240x240 px | Head | Slice index 83 | Image covers 240 mm x 240 mm | Axial slice
FLAIR magnetic resonance.
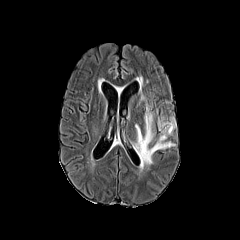
T1-weighted magnetic resonance.
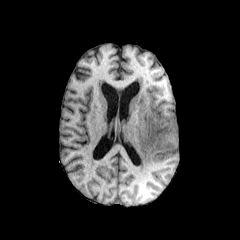
Post-contrast T1-weighted MRI.
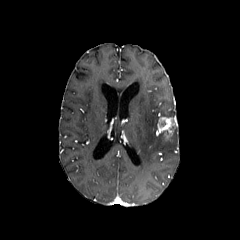
T2-weighted magnetic resonance.
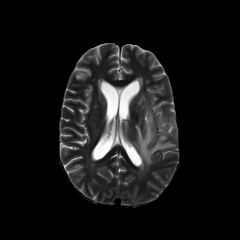
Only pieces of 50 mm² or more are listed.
<segmentation>
  <enhancing_tumor>(157, 117, 176, 138)</enhancing_tumor>
  <peritumoral_edema>(135, 103, 175, 169)</peritumoral_edema>
</segmentation>